Image width 240 mm, 1.00 mm slice spacing; Brain; Slice index 89; Axial view; 240x240
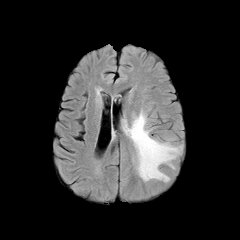
FLAIR MR image.
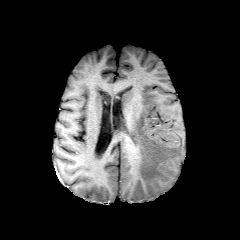
Same slice, T1-weighted MR image.
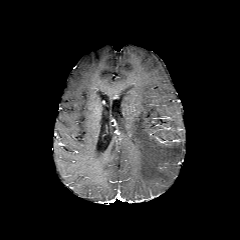
Post-contrast T1-weighted MR image.
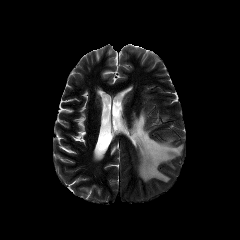
Same slice, T2-weighted MRI.
{
  "peritumoral_edema": [
    {"x1": 123, "y1": 110, "x2": 182, "y2": 182}
  ]
}